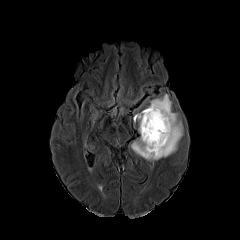
FLAIR MR image.
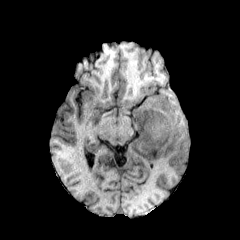
Same slice, T1-weighted magnetic resonance.
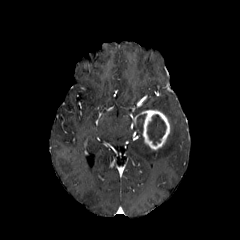
Same slice, post-contrast T1-weighted MR.
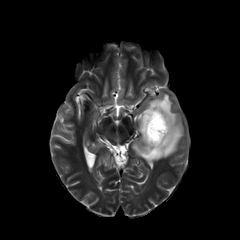
T2-weighted MRI.
Brain, Axial plane
The enhancing tumor lies within x1=134, y1=109, x2=170, y2=150. The peritumoral edema lies within x1=130, y1=88, x2=185, y2=160. The necrotic tumor core is at x1=147, y1=115, x2=166, y2=144.